Slice index 95
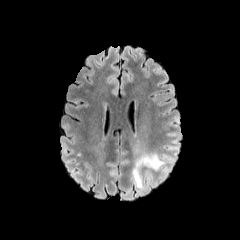
FLAIR MR image.
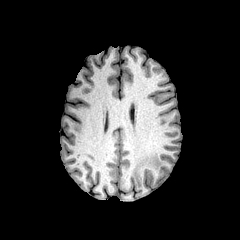
T1-weighted MR.
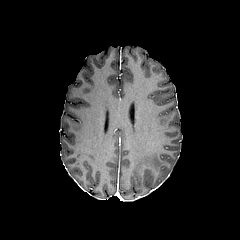
Post-contrast T1-weighted magnetic resonance of the same slice.
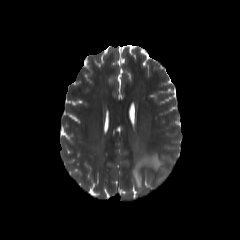
T2-weighted magnetic resonance.
Findings:
* peritumoral edema: [131, 153, 175, 190]